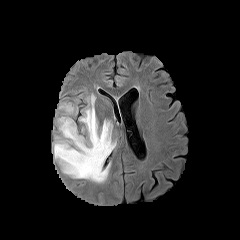
FLAIR MR.
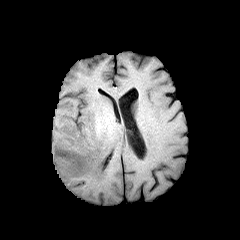
T1-weighted MR image of the same slice.
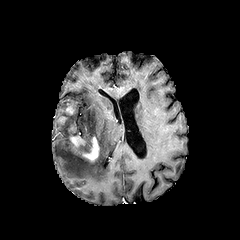
Post-contrast T1-weighted MRI.
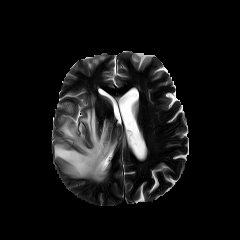
T2-weighted MRI.
Image size 240x240
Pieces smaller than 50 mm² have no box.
enhancing tumor: x1=82 y1=137 x2=99 y2=161, x1=70 y1=135 x2=84 y2=147 | peritumoral edema: x1=54 y1=94 x2=116 y2=182